FLAIR magnetic resonance.
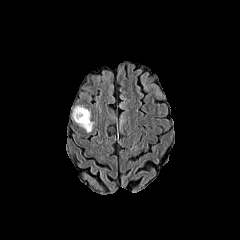
T1-weighted MR image.
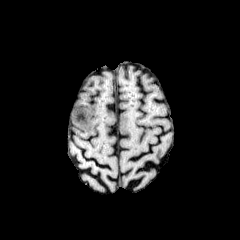
Post-contrast T1-weighted MR image.
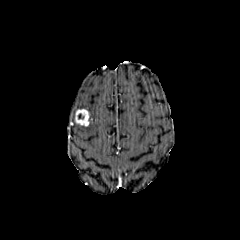
T2-weighted magnetic resonance.
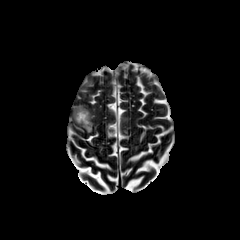
240x240, Head
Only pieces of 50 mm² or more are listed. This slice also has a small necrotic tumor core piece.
enhancing tumor: bounding box (75,109,89,126)
peritumoral edema: bounding box (80,109,93,132)